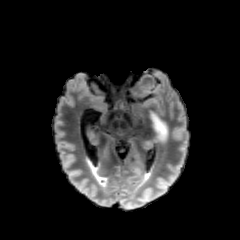
FLAIR MR.
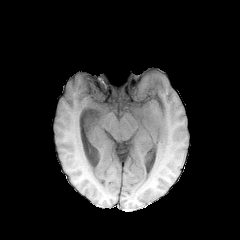
T1-weighted magnetic resonance of the same slice.
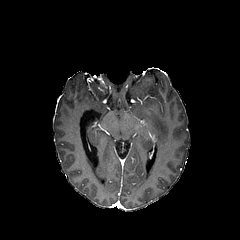
Same slice, post-contrast T1-weighted MR.
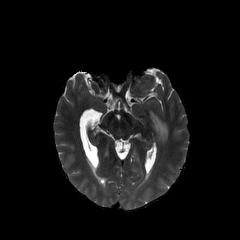
T2-weighted MR image.
The peritumoral edema appears at left=150, top=114, right=167, bottom=142.